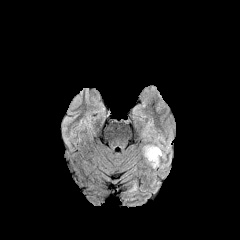
FLAIR MR.
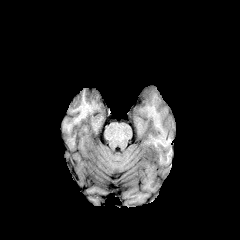
T1-weighted MR image.
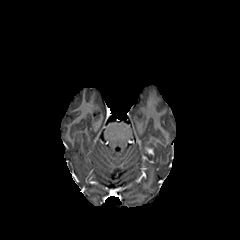
Post-contrast T1-weighted MR image.
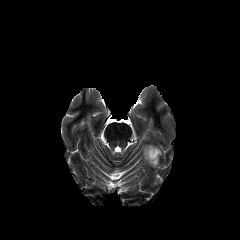
T2-weighted MR of the same slice.
240x240 px, Brain, Axial plane
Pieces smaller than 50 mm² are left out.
The largest peritumoral edema region is at 143,144,164,167. The enhancing tumor lies within 145,148,154,155.